Image width 240 mm; Slice index 76; 240x240 px
FLAIR MR image.
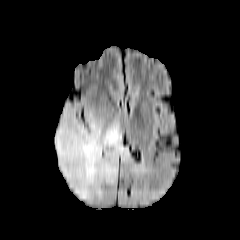
T1-weighted MR image.
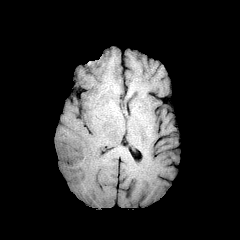
Post-contrast T1-weighted MR image.
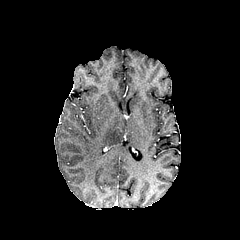
T2-weighted MR image.
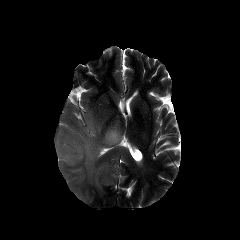
The peritumoral edema appears at left=55, top=106, right=128, bottom=201.